Axial slice | Image covers 240 mm x 240 mm
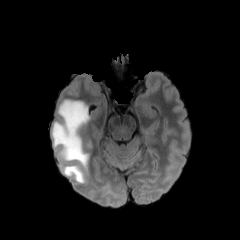
FLAIR MRI.
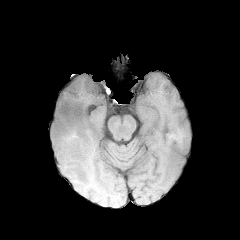
T1-weighted magnetic resonance.
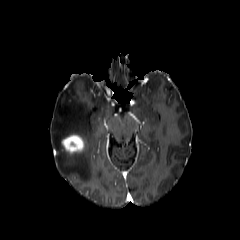
Post-contrast T1-weighted MR image.
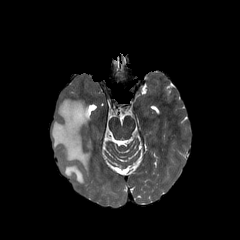
T2-weighted magnetic resonance of the same slice.
<segmentation>
  <peritumoral_edema>region(51, 99, 91, 183)</peritumoral_edema>
  <enhancing_tumor>region(61, 134, 84, 154)</enhancing_tumor>
</segmentation>